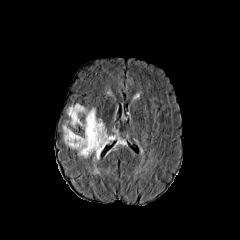
FLAIR magnetic resonance.
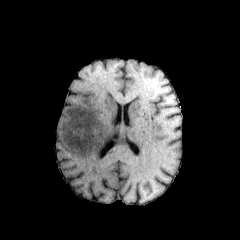
T1-weighted MR.
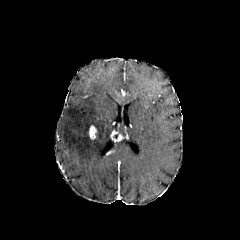
Post-contrast T1-weighted MR image.
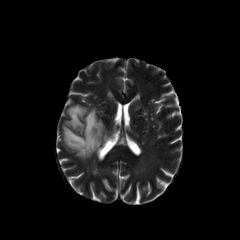
T2-weighted MRI.
Axial view. Image size 240x240.
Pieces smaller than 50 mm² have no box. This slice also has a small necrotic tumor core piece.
<segmentation>
  <peritumoral_edema>112,139,127,148; 62,103,110,174</peritumoral_edema>
  <enhancing_tumor>89,125,97,139; 110,130,123,142</enhancing_tumor>
</segmentation>